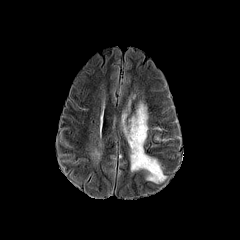
FLAIR MR image.
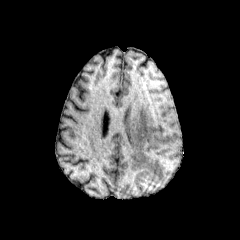
T1-weighted MRI of the same slice.
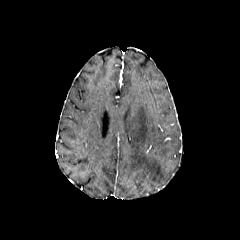
Post-contrast T1-weighted MR.
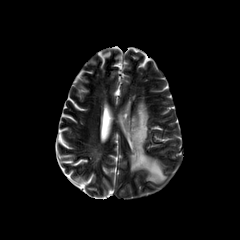
T2-weighted magnetic resonance of the same slice.
240x240 px; Axial view
Findings:
- peritumoral edema: bbox=[123, 103, 165, 183]